Head, Axial plane
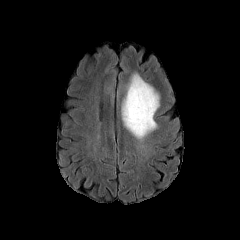
FLAIR MR image.
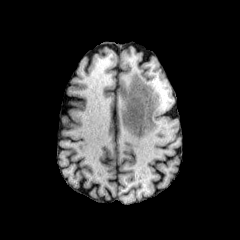
T1-weighted magnetic resonance of the same slice.
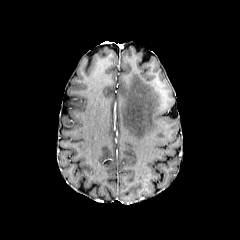
Post-contrast T1-weighted magnetic resonance of the same slice.
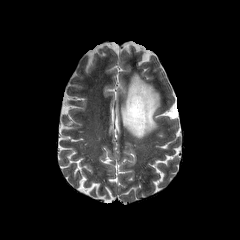
Same slice, T2-weighted MR image.
<segmentation>
  <peritumoral_edema>122,73,159,139</peritumoral_edema>
</segmentation>